240x240 px; Axial view; Image width 240 mm, 1.00 mm slice spacing
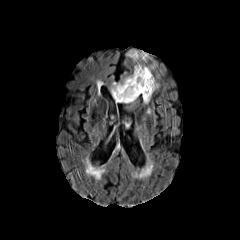
FLAIR magnetic resonance.
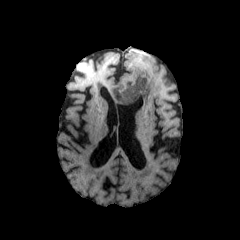
T1-weighted MR image of the same slice.
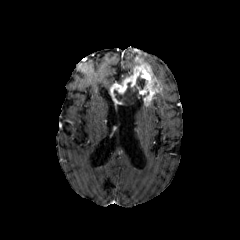
Post-contrast T1-weighted magnetic resonance.
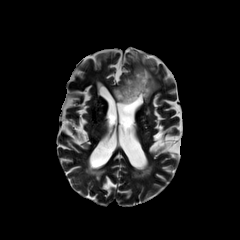
Same slice, T2-weighted MR.
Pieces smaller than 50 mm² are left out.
enhancing tumor — [110, 61, 159, 105]
peritumoral edema — [127, 51, 151, 64]
necrotic tumor core — [114, 82, 138, 103], [136, 76, 145, 89]